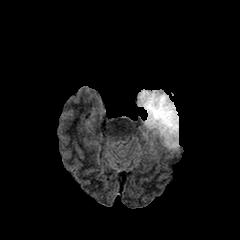
FLAIR magnetic resonance.
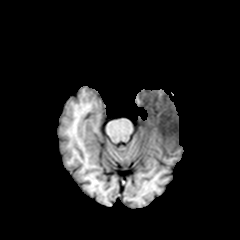
T1-weighted magnetic resonance.
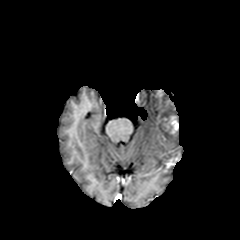
Post-contrast T1-weighted magnetic resonance of the same slice.
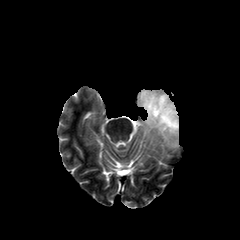
T2-weighted magnetic resonance.
240x240 px; Brain
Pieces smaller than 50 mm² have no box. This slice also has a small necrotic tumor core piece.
The enhancing tumor is located at <bbox>163, 115, 178, 134</bbox>. The peritumoral edema is located at <bbox>137, 89, 179, 149</bbox>.